FLAIR MR.
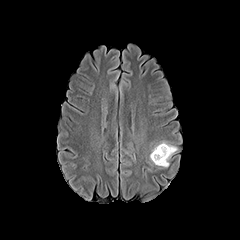
T1-weighted MR image.
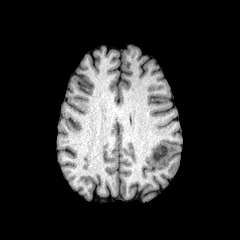
Post-contrast T1-weighted magnetic resonance.
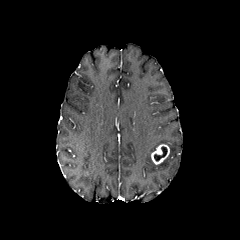
T2-weighted MR.
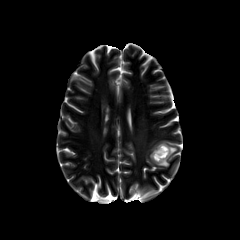
Brain
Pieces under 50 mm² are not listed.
{
  "necrotic_tumor_core": [
    "l=154, t=146, r=167, b=161"
  ],
  "peritumoral_edema": [
    "l=158, t=145, r=176, b=167"
  ],
  "enhancing_tumor": [
    "l=151, t=144, r=169, b=164"
  ]
}